FLAIR MR.
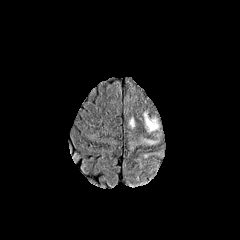
T1-weighted MR image.
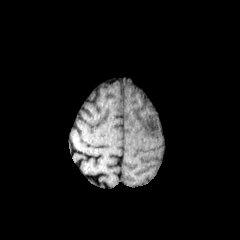
Post-contrast T1-weighted MR.
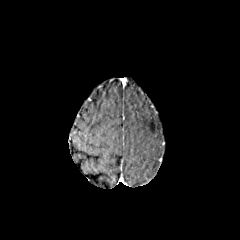
T2-weighted MR image.
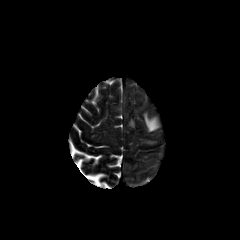
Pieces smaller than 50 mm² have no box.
peritumoral edema — <bbox>144, 113, 158, 131</bbox>